Slice 86/155 | Axial plane
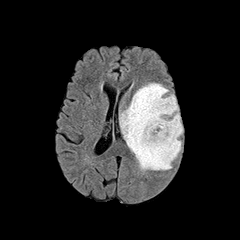
FLAIR MR.
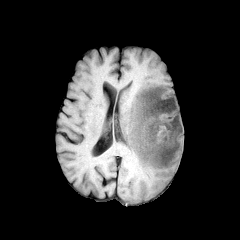
T1-weighted magnetic resonance.
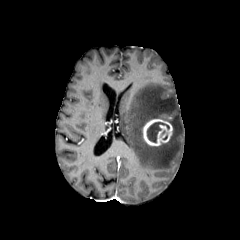
Post-contrast T1-weighted MR.
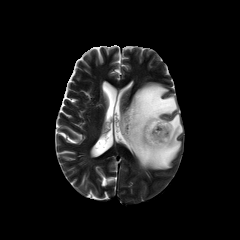
T2-weighted MRI.
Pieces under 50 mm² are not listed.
{"necrotic_tumor_core": ["[x1=147, y1=122, x2=169, y2=142]"], "enhancing_tumor": ["[x1=143, y1=119, x2=172, y2=146]"], "peritumoral_edema": ["[x1=119, y1=83, x2=183, y2=170]"]}